FLAIR MR.
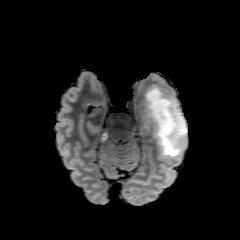
T1-weighted MR.
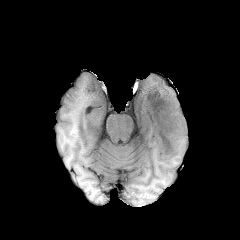
Post-contrast T1-weighted MR.
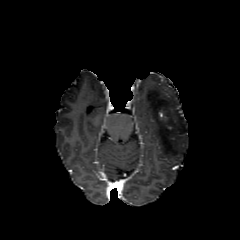
T2-weighted MR.
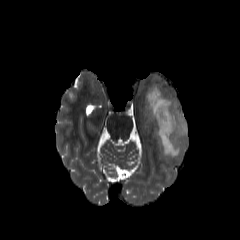
Axial slice.
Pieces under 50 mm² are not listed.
The largest enhancing tumor region is bounded by x1=158, y1=110, x2=167, y2=120. The peritumoral edema is bounded by x1=145, y1=85, x2=187, y2=161.